Brain. Axial slice. Image width 240 mm, 1.00 mm slice spacing.
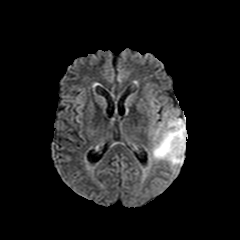
FLAIR MRI.
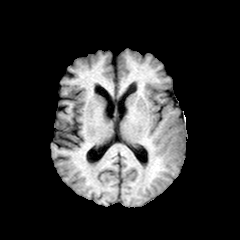
T1-weighted magnetic resonance.
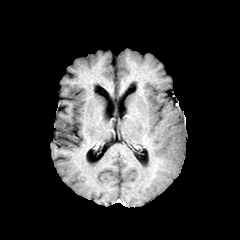
Same slice, post-contrast T1-weighted magnetic resonance.
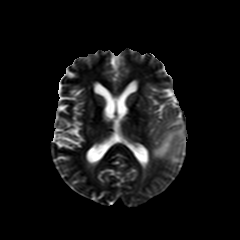
T2-weighted MR of the same slice.
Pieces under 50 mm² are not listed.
peritumoral edema: bounding box (left=150, top=111, right=187, bottom=167)